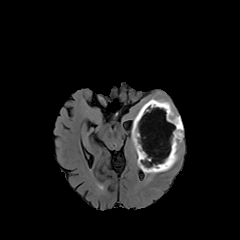
FLAIR magnetic resonance.
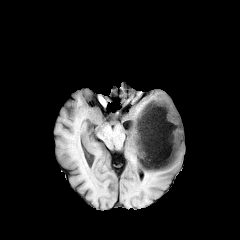
Same slice, T1-weighted magnetic resonance.
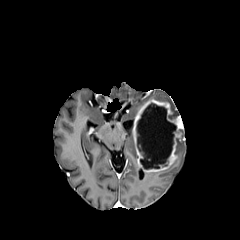
Post-contrast T1-weighted MRI.
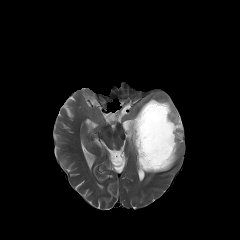
T2-weighted MR image.
Brain
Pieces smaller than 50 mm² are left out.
peritumoral edema at {"x1": 144, "y1": 165, "x2": 172, "y2": 174}, {"x1": 131, "y1": 130, "x2": 136, "y2": 154}, {"x1": 149, "y1": 97, "x2": 178, "y2": 115}, {"x1": 174, "y1": 141, "x2": 182, "y2": 163}
enhancing tumor at {"x1": 132, "y1": 99, "x2": 183, "y2": 172}
necrotic tumor core at {"x1": 136, "y1": 103, "x2": 176, "y2": 169}